Axial plane. Brain. Image width 240 mm, 1.00 mm slice spacing.
FLAIR magnetic resonance.
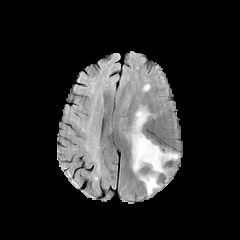
T1-weighted MRI.
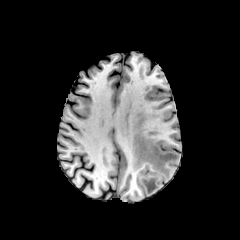
Post-contrast T1-weighted MR.
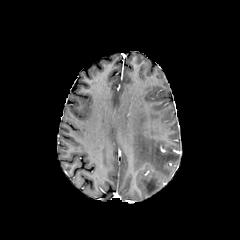
T2-weighted MR image.
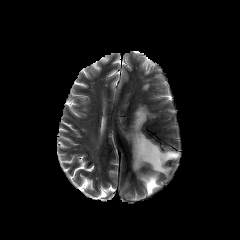
peritumoral_edema:
  - 127, 106, 179, 194